FLAIR magnetic resonance.
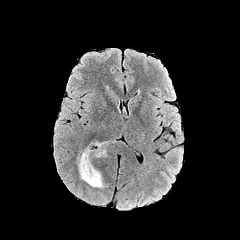
T1-weighted magnetic resonance.
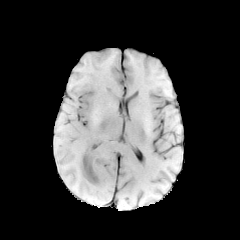
Post-contrast T1-weighted MR.
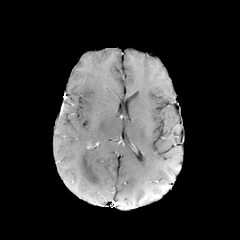
T2-weighted MR image.
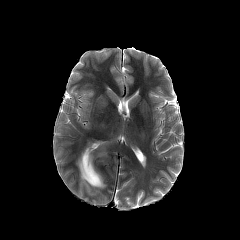
Head.
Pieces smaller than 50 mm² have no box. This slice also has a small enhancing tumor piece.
peritumoral edema: 77, 141, 108, 188